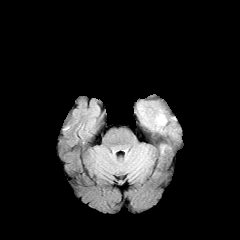
FLAIR magnetic resonance.
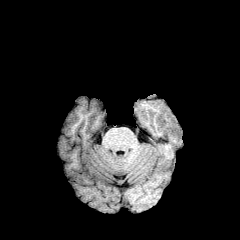
Same slice, T1-weighted magnetic resonance.
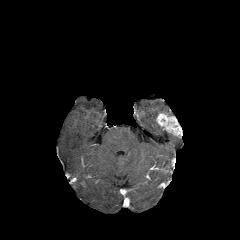
Post-contrast T1-weighted magnetic resonance.
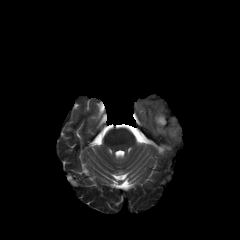
T2-weighted magnetic resonance.
Image size 240x240, Axial view
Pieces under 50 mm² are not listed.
The enhancing tumor is at (x1=156, y1=112, x2=181, y2=137). The largest peritumoral edema region appears at (x1=154, y1=109, x2=166, y2=131).